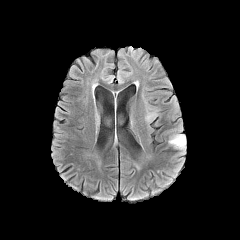
FLAIR MRI.
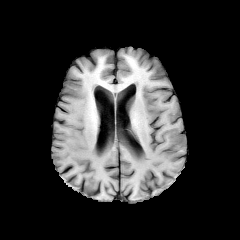
Same slice, T1-weighted magnetic resonance.
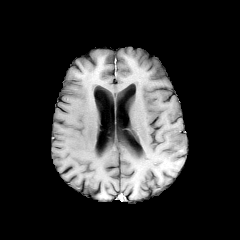
Post-contrast T1-weighted MRI of the same slice.
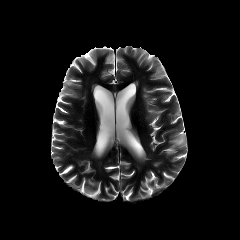
T2-weighted MR image.
Axial view.
<segmentation>
  <peritumoral_edema>x1=169, y1=133, x2=186, y2=149</peritumoral_edema>
</segmentation>